FLAIR magnetic resonance.
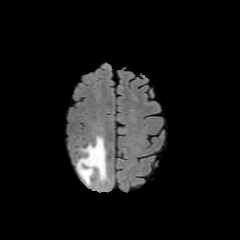
T1-weighted MR image.
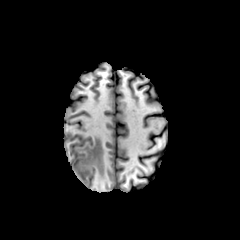
Post-contrast T1-weighted MR.
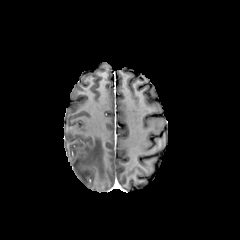
T2-weighted MRI.
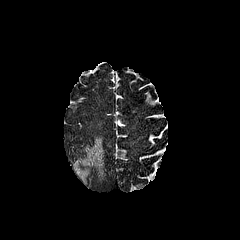
Head, 240x240
The peritumoral edema is located at box=[76, 136, 106, 185].